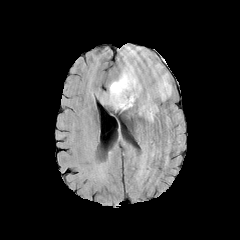
FLAIR MR image.
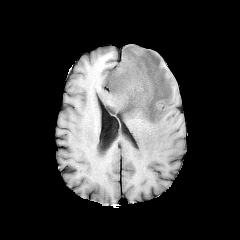
T1-weighted MR of the same slice.
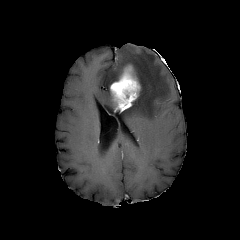
Post-contrast T1-weighted magnetic resonance of the same slice.
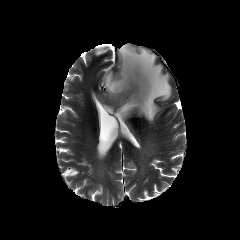
T2-weighted MRI of the same slice.
Image size 240x240.
enhancing tumor — [110,64,140,111]
peritumoral edema — [101,45,172,122]